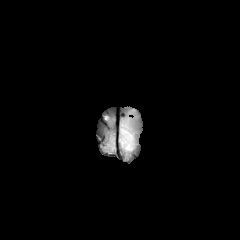
FLAIR MR image.
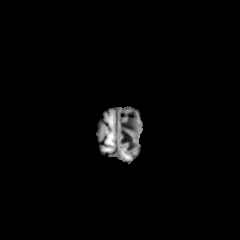
T1-weighted MRI.
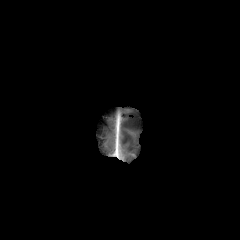
Post-contrast T1-weighted MRI of the same slice.
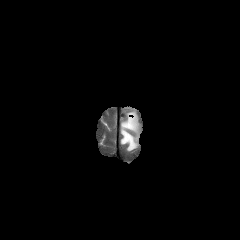
T2-weighted MRI of the same slice.
Brain; 240x240 px; Axial view
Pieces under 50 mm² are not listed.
peritumoral edema = <bbox>122, 130, 133, 149</bbox>